FLAIR MR.
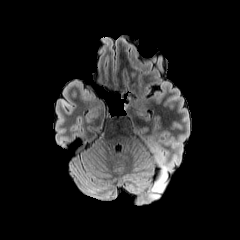
T1-weighted MR image.
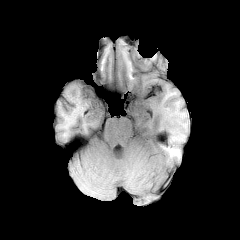
Post-contrast T1-weighted magnetic resonance.
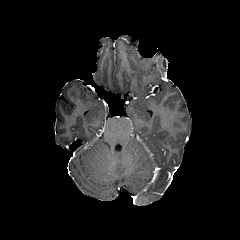
T2-weighted MRI.
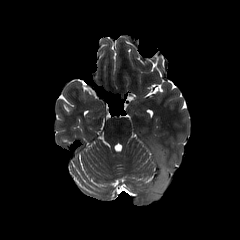
Head
peritumoral_edema:
  - 146 137 168 199